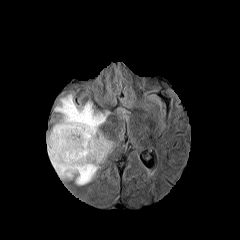
FLAIR MRI.
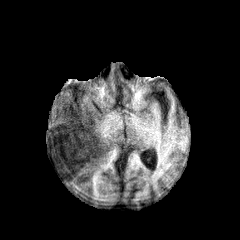
T1-weighted MRI of the same slice.
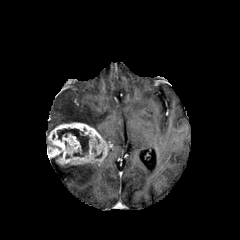
Post-contrast T1-weighted MR.
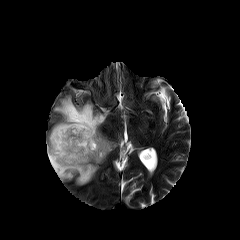
T2-weighted magnetic resonance.
Head
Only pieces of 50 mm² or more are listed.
peritumoral edema: [50,159,100,185], [52,94,112,144]
necrotic tumor core: [57,129,89,156]
enhancing tumor: [47,122,112,165]